FLAIR MR.
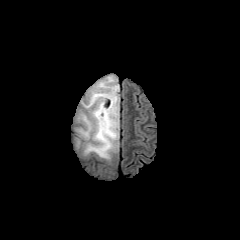
T1-weighted magnetic resonance.
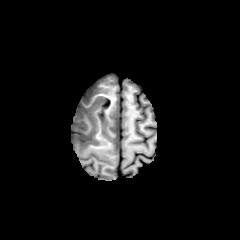
Post-contrast T1-weighted MR image.
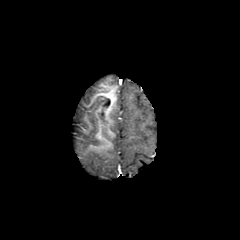
T2-weighted MR image.
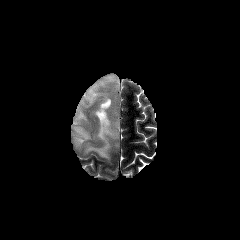
{"peritumoral_edema": ["x1=73 y1=75 x2=119 y2=160"], "necrotic_tumor_core": ["x1=97 y1=98 x2=110 y2=125"], "enhancing_tumor": ["x1=95 y1=93 x2=115 y2=129"]}